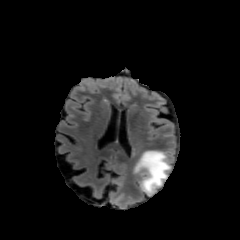
FLAIR MR image.
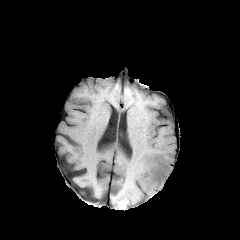
Same slice, T1-weighted MR image.
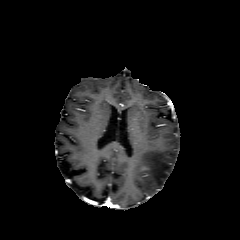
Post-contrast T1-weighted MRI of the same slice.
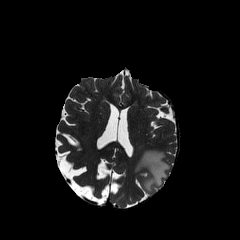
T2-weighted MR image of the same slice.
Image size 240x240
peritumoral_edema:
  - 133 150 171 195